240x240 px, Brain, Axial slice, Slice 88/155
FLAIR MR.
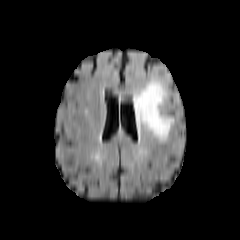
T1-weighted magnetic resonance.
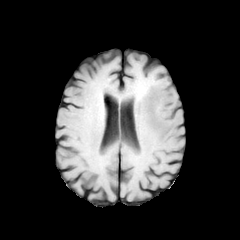
Post-contrast T1-weighted magnetic resonance.
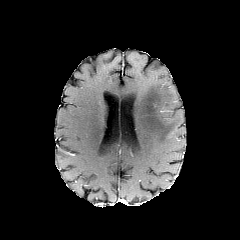
T2-weighted MR image.
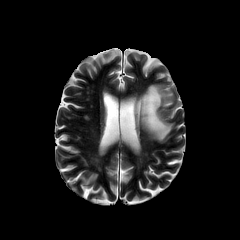
peritumoral edema: x1=137, y1=81, x2=173, y2=141